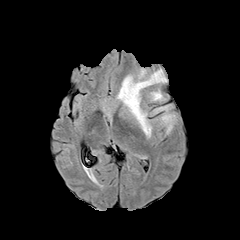
FLAIR MR.
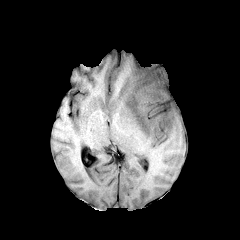
T1-weighted MR image.
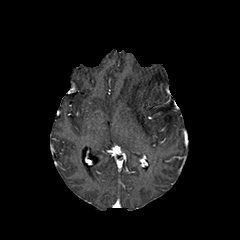
Post-contrast T1-weighted magnetic resonance.
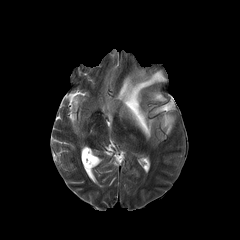
T2-weighted MRI.
Findings:
* peritumoral edema: left=150, top=91, right=164, bottom=100; left=117, top=69, right=166, bottom=137; left=153, top=105, right=171, bottom=112; left=161, top=114, right=175, bottom=133